240x240; Head; Slice 70/155
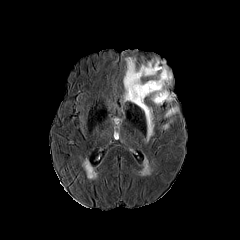
FLAIR MR image.
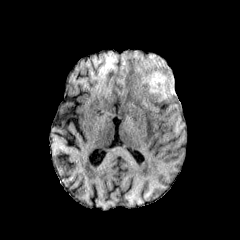
T1-weighted MR.
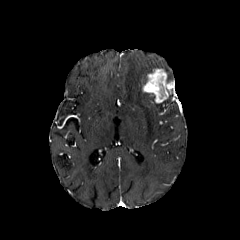
Post-contrast T1-weighted MRI.
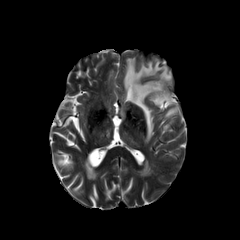
Same slice, T2-weighted MR.
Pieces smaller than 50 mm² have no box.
Segmented structures:
* peritumoral edema: left=123, top=57, right=171, bottom=141; left=165, top=106, right=177, bottom=117
* enhancing tumor: left=142, top=68, right=175, bottom=103